Slice 65 of 155 | Head | Axial plane
FLAIR MR.
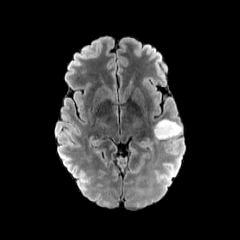
T1-weighted MRI.
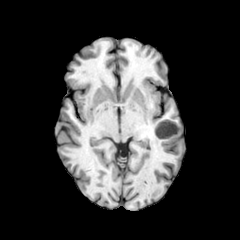
Post-contrast T1-weighted MR image.
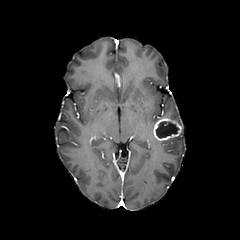
T2-weighted MR.
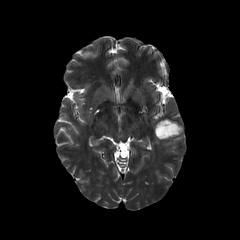
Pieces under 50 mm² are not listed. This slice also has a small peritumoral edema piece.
The enhancing tumor lies within <bbox>153, 118, 182, 140</bbox>. The necrotic tumor core is bounded by <bbox>156, 121, 178, 138</bbox>.